FLAIR MR.
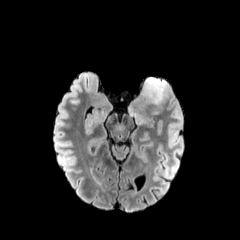
T1-weighted MRI.
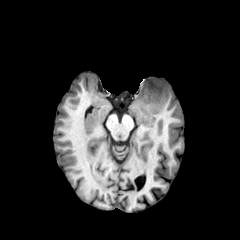
Post-contrast T1-weighted MRI.
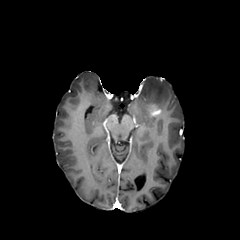
T2-weighted magnetic resonance.
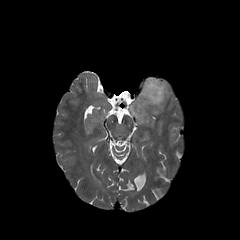
Axial slice; Head
enhancing tumor: region(149, 105, 161, 116) | peritumoral edema: region(129, 77, 167, 123)